240x240 px.
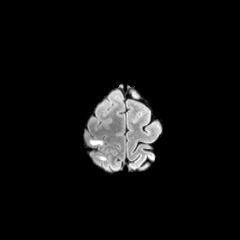
FLAIR magnetic resonance.
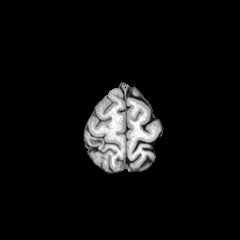
T1-weighted MR.
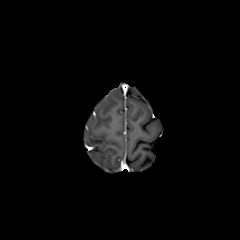
Post-contrast T1-weighted MRI.
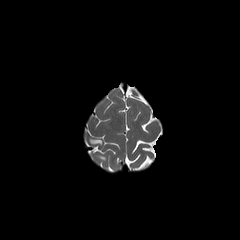
T2-weighted MR.
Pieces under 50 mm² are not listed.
The largest peritumoral edema region is located at (x1=90, y1=140, x2=102, y2=144).